Slice 74 of 155, Head, 240x240 px
FLAIR magnetic resonance.
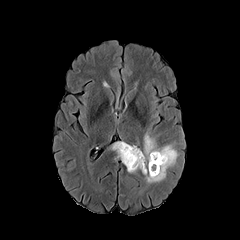
T1-weighted MRI.
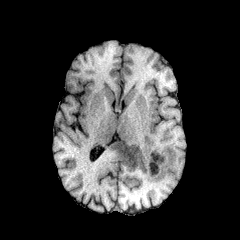
Post-contrast T1-weighted magnetic resonance.
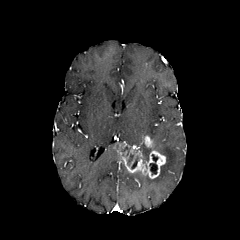
T2-weighted MRI.
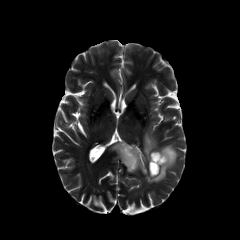
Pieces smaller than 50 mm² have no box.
peritumoral edema: (142,137,178,183)
necrotic tumor core: (149,154,158,174)
enhancing tumor: (144,135,153,147), (113,142,165,178)